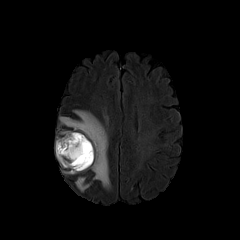
FLAIR MRI.
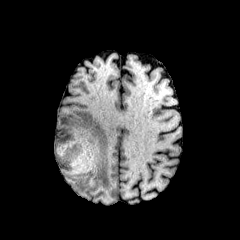
T1-weighted MR image.
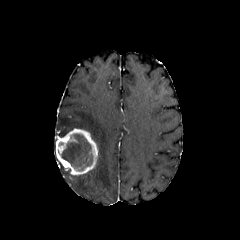
Post-contrast T1-weighted magnetic resonance of the same slice.
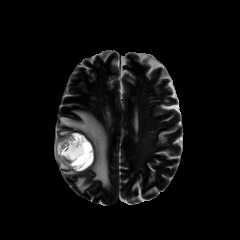
T2-weighted MRI of the same slice.
Head
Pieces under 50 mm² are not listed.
necrotic tumor core = 61, 134, 92, 170
peritumoral edema = 75, 177, 90, 191; 59, 110, 110, 189
enhancing tumor = 55, 128, 98, 175